Image size 240x240. Brain.
FLAIR MRI.
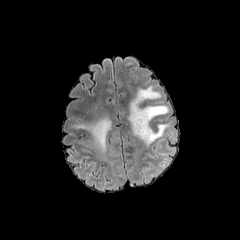
T1-weighted MR image.
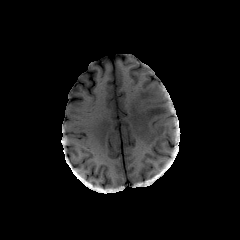
Post-contrast T1-weighted MRI.
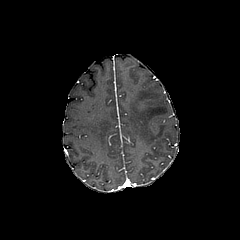
T2-weighted magnetic resonance.
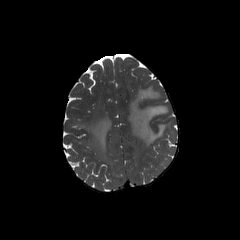
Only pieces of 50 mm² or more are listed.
peritumoral edema: [128, 86, 169, 146], [76, 116, 111, 154]